FLAIR MR.
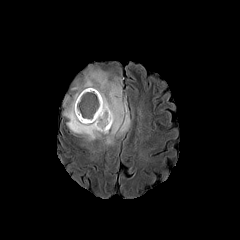
T1-weighted MR image.
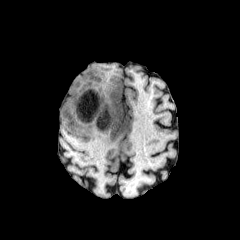
Post-contrast T1-weighted MR image.
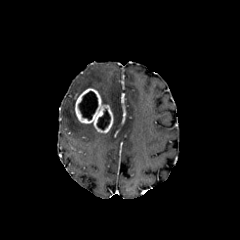
T2-weighted magnetic resonance.
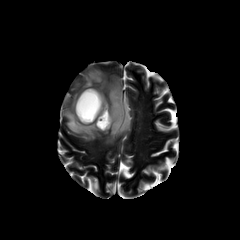
2 necrotic tumor core regions are located at bbox(78, 91, 97, 120); bbox(97, 109, 110, 130). The peritumoral edema appears at bbox(63, 66, 131, 145). The enhancing tumor is at bbox(75, 88, 113, 133).